FLAIR magnetic resonance.
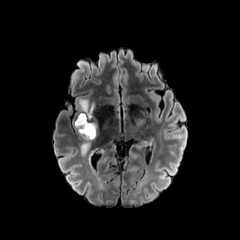
T1-weighted MR image.
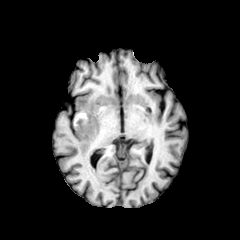
Post-contrast T1-weighted MR image.
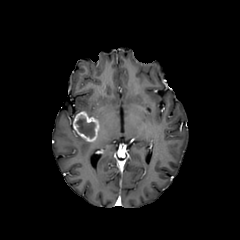
T2-weighted MRI.
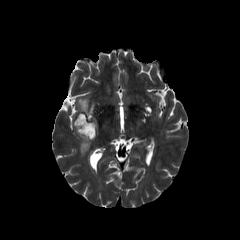
Axial plane; Head
enhancing tumor — 73, 111, 99, 142
necrotic tumor core — 76, 117, 94, 138
peritumoral edema — 81, 138, 90, 153; 78, 99, 94, 116